Brain | Axial plane | Slice 72/155
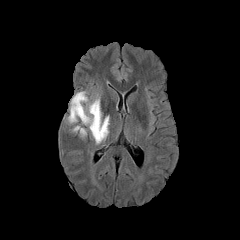
FLAIR MR.
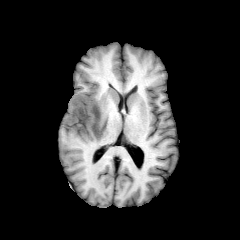
Same slice, T1-weighted MR image.
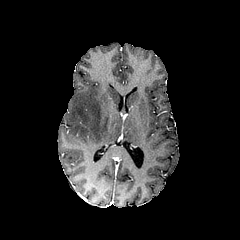
Same slice, post-contrast T1-weighted MR.
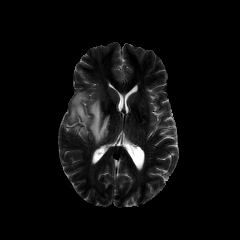
T2-weighted magnetic resonance of the same slice.
peritumoral edema: bounding box box=[68, 92, 109, 144]; box=[73, 126, 86, 136]